Slice 80/155 | Head
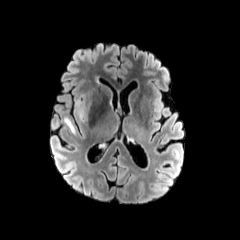
FLAIR magnetic resonance.
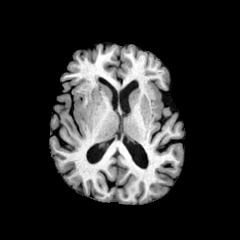
Same slice, T1-weighted MRI.
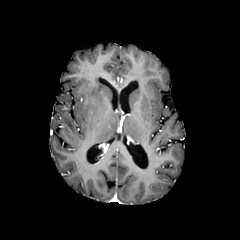
Same slice, post-contrast T1-weighted MRI.
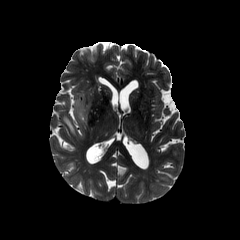
T2-weighted MR image.
2 peritumoral edema regions are bounded by left=63, top=116, right=75, bottom=135; left=76, top=100, right=84, bottom=120.